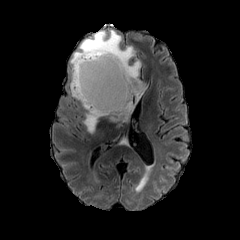
FLAIR MRI.
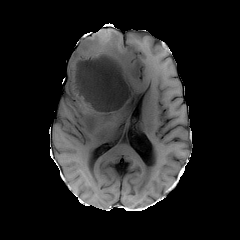
T1-weighted MR.
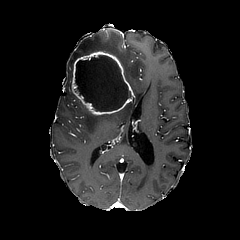
Post-contrast T1-weighted MRI of the same slice.
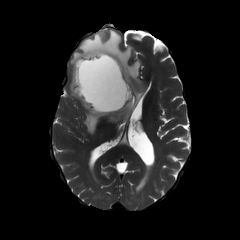
T2-weighted MRI.
Head; Axial view
enhancing_tumor:
  - l=71, t=51, r=133, b=115
peritumoral_edema:
  - l=69, t=29, r=146, b=132
necrotic_tumor_core:
  - l=75, t=55, r=130, b=111